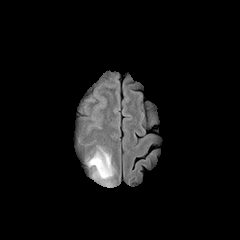
FLAIR MRI.
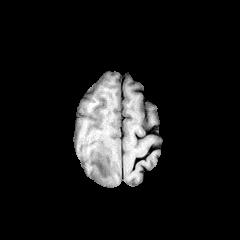
T1-weighted MR.
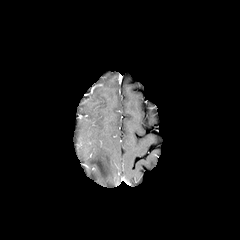
Same slice, post-contrast T1-weighted MR image.
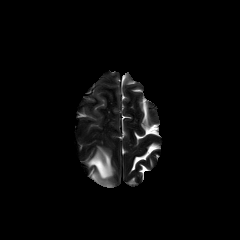
T2-weighted MR image of the same slice.
Axial view; Brain
peritumoral edema = 87:146:114:187